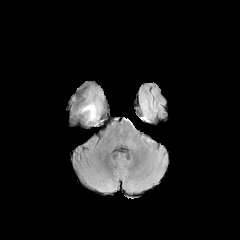
FLAIR MR.
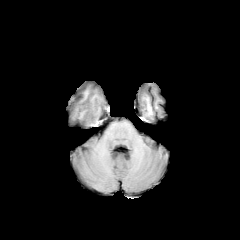
T1-weighted MR image of the same slice.
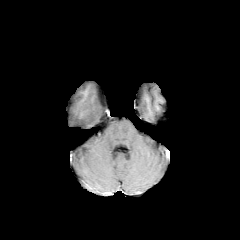
Same slice, post-contrast T1-weighted magnetic resonance.
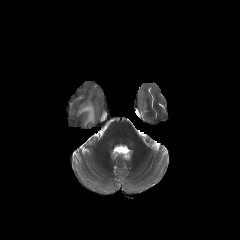
Same slice, T2-weighted magnetic resonance.
The peritumoral edema is located at box=[78, 101, 100, 123].